Image covers 240 mm x 240 mm | Brain | Image size 240x240
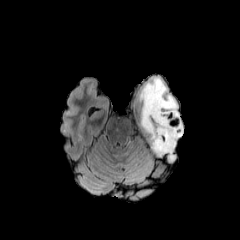
FLAIR magnetic resonance.
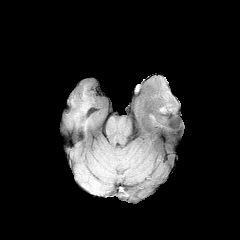
T1-weighted MR of the same slice.
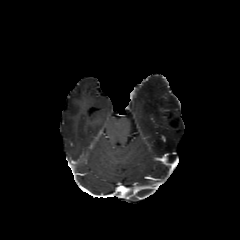
Post-contrast T1-weighted MR.
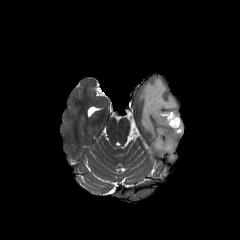
T2-weighted MR image.
peritumoral edema at l=139, t=77, r=183, b=160